FLAIR magnetic resonance.
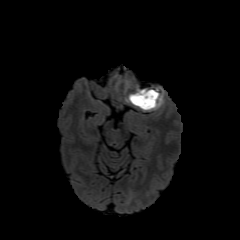
T1-weighted MRI.
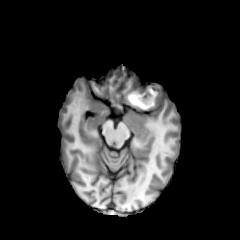
Post-contrast T1-weighted MR image.
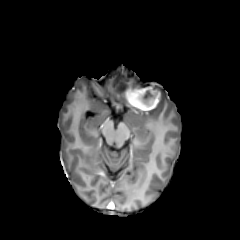
T2-weighted MRI.
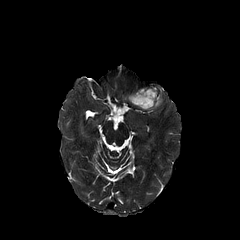
Axial slice | 240x240 px
• necrotic tumor core: (133,89,157,106)
• enhancing tumor: (126,86,161,110)
• peritumoral edema: (154,87,163,109)